Image width 240 mm, 1.00 mm slice spacing. Head.
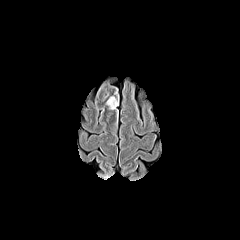
FLAIR MRI.
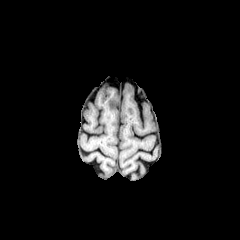
T1-weighted MR.
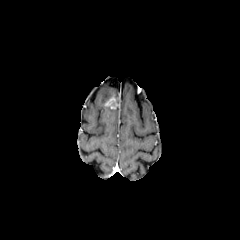
Post-contrast T1-weighted MRI of the same slice.
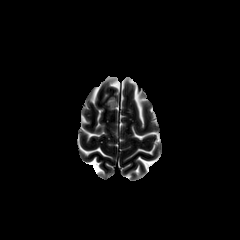
Same slice, T2-weighted MR image.
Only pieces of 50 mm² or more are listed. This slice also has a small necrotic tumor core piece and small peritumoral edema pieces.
The enhancing tumor lies within 104, 97, 118, 108.